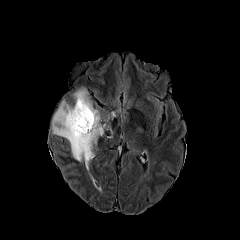
FLAIR MRI.
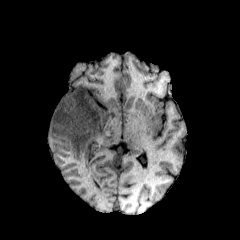
Same slice, T1-weighted MR image.
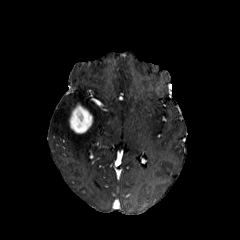
Post-contrast T1-weighted MR.
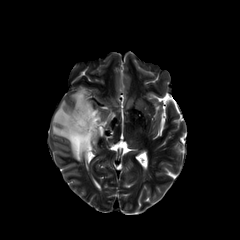
T2-weighted magnetic resonance of the same slice.
Head | 240x240 px | Axial slice
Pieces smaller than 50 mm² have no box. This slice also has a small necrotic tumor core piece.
peritumoral edema: bounding box rect(51, 89, 108, 170)
enhancing tumor: bounding box rect(69, 102, 93, 133)